Image size 240x240 | Head
FLAIR MR.
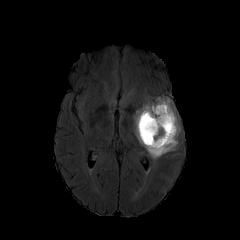
T1-weighted MRI.
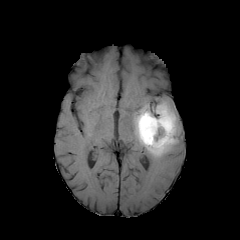
Post-contrast T1-weighted magnetic resonance.
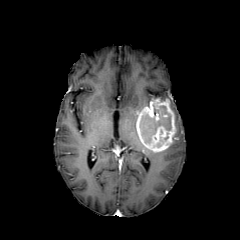
T2-weighted MR image.
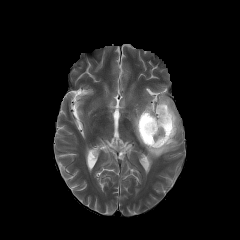
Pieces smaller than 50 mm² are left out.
<segmentation>
  <peritumoral_edema>133 96 180 159</peritumoral_edema>
  <enhancing_tumor>136 98 176 152</enhancing_tumor>
  <necrotic_tumor_core>140 114 171 143</necrotic_tumor_core>
</segmentation>